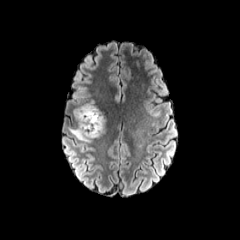
FLAIR magnetic resonance.
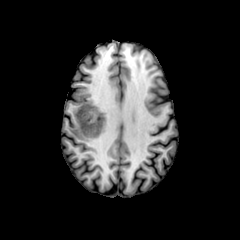
T1-weighted MR image of the same slice.
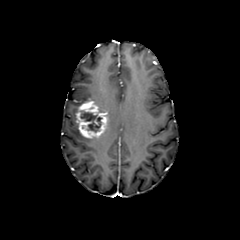
Post-contrast T1-weighted MRI of the same slice.
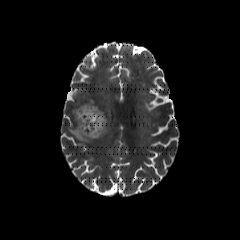
T2-weighted MRI of the same slice.
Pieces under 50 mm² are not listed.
necrotic tumor core: 80,111,101,132 | enhancing tumor: 76,101,106,138 | peritumoral edema: 68,124,95,142